FLAIR magnetic resonance.
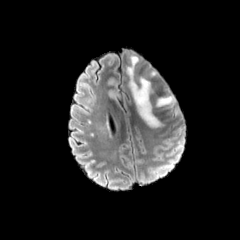
T1-weighted MR.
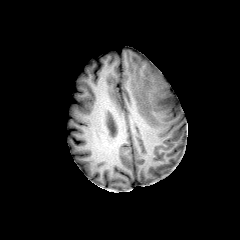
Post-contrast T1-weighted MR image.
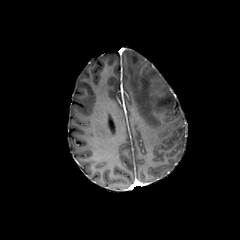
T2-weighted magnetic resonance.
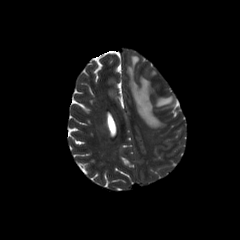
Head. Axial view.
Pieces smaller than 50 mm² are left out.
{
  "peritumoral_edema": [
    "x1=126, y1=55, x2=174, y2=127"
  ]
}